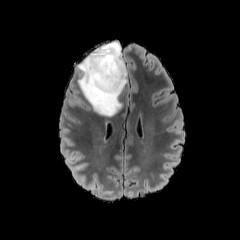
FLAIR MR.
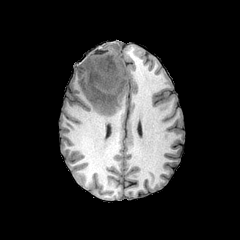
T1-weighted MR of the same slice.
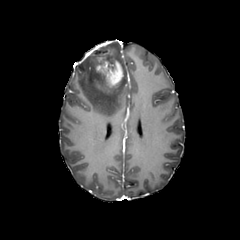
Same slice, post-contrast T1-weighted MR image.
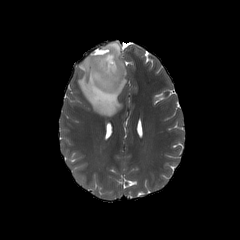
T2-weighted magnetic resonance of the same slice.
Brain
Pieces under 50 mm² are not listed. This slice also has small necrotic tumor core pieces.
enhancing_tumor:
  - <bbox>96, 58, 123, 87</bbox>
peritumoral_edema:
  - <bbox>78, 41, 127, 116</bbox>